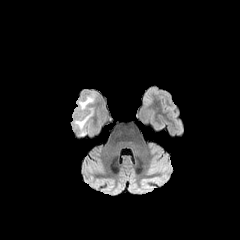
FLAIR MRI.
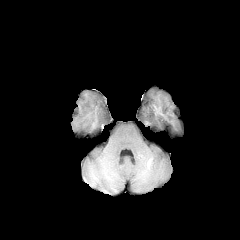
Same slice, T1-weighted MR image.
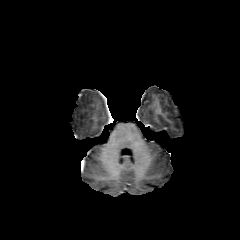
Post-contrast T1-weighted MR of the same slice.
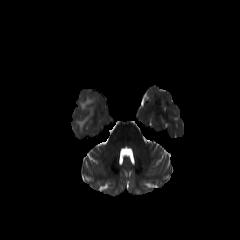
Same slice, T2-weighted MR image.
The peritumoral edema is at <bbox>75, 96, 93, 130</bbox>.